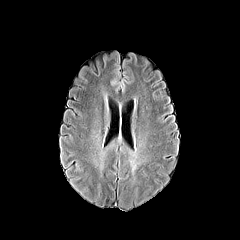
FLAIR MR image.
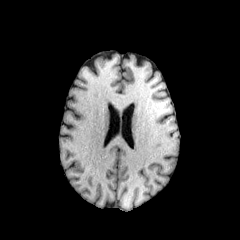
T1-weighted MRI of the same slice.
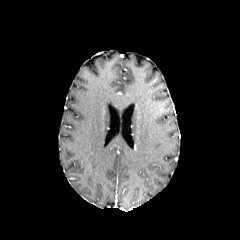
Post-contrast T1-weighted MR image.
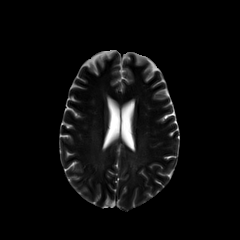
T2-weighted MR of the same slice.
Axial plane
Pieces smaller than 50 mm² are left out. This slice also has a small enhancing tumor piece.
Annotated regions:
- peritumoral edema: left=129, top=153, right=138, bottom=172